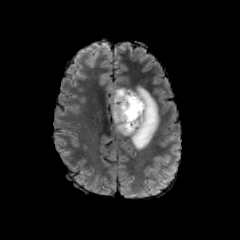
FLAIR MR image.
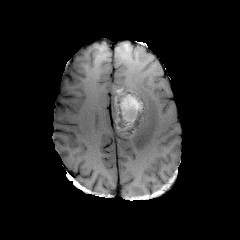
Same slice, T1-weighted MR.
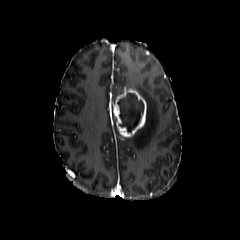
Same slice, post-contrast T1-weighted magnetic resonance.
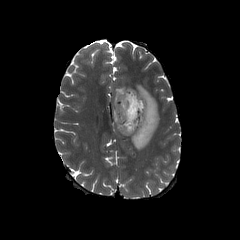
T2-weighted magnetic resonance.
240x240. Brain. Axial slice.
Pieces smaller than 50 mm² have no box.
necrotic tumor core: bbox(117, 93, 143, 131)
peritumoral edema: bbox(110, 88, 124, 126); bbox(129, 86, 159, 149)
enhancing tumor: bbox(113, 88, 146, 137)